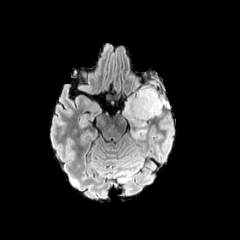
FLAIR MRI.
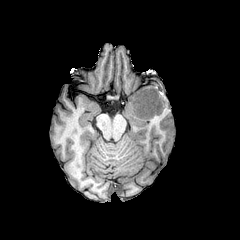
T1-weighted MR.
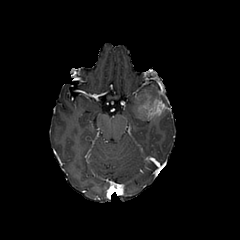
Post-contrast T1-weighted MR.
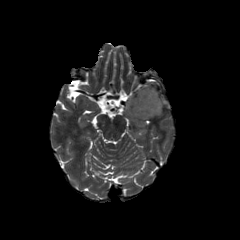
T2-weighted MR.
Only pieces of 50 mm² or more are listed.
Annotated regions:
• peritumoral edema: (x1=122, y1=80, x2=158, y2=137)
• enhancing tumor: (x1=136, y1=90, x2=168, y2=119)
• necrotic tumor core: (x1=149, y1=93, x2=157, y2=111)